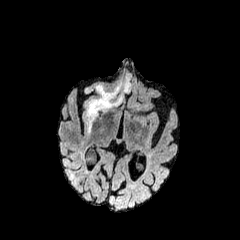
FLAIR MRI.
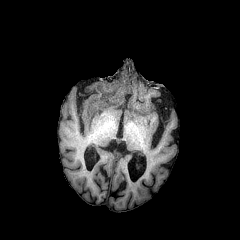
Same slice, T1-weighted MR.
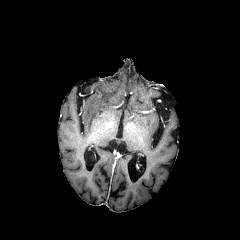
Post-contrast T1-weighted MRI.
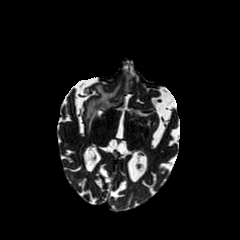
Same slice, T2-weighted MRI.
Image size 240x240 | Brain | Axial slice
2 peritumoral edema regions are located at [x1=124, y1=77, x2=129, y2=91], [x1=87, y1=85, x2=122, y2=132].